Axial plane.
FLAIR magnetic resonance.
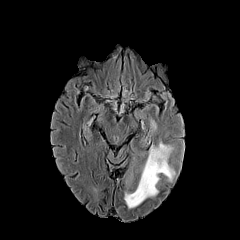
T1-weighted magnetic resonance.
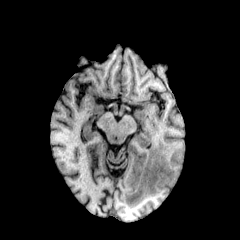
Post-contrast T1-weighted MR.
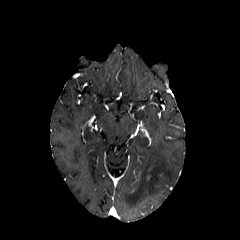
T2-weighted MRI.
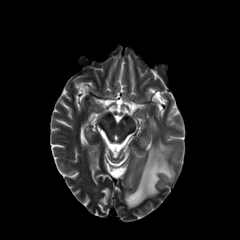
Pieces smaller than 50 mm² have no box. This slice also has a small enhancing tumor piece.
The 2 largest peritumoral edema regions appear at x1=149, y1=118, x2=157, y2=133; x1=124, y1=139, x2=175, y2=208.